FLAIR MR.
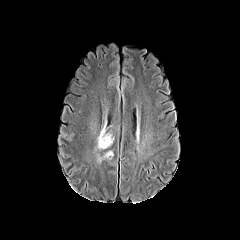
T1-weighted MRI.
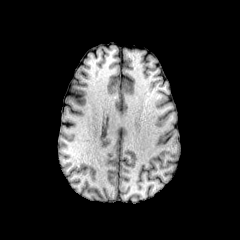
Post-contrast T1-weighted MR.
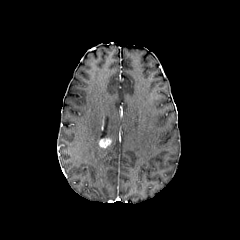
T2-weighted MRI.
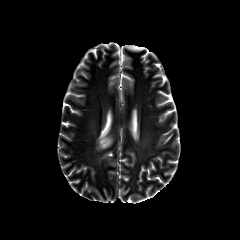
240x240. Brain.
<segmentation>
  <enhancing_tumor>box(99, 138, 111, 148)</enhancing_tumor>
  <peritumoral_edema>box(97, 131, 113, 148); box(99, 151, 112, 160)</peritumoral_edema>
</segmentation>